Brain
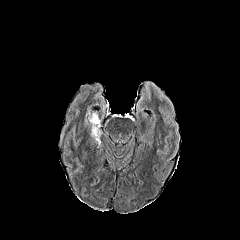
FLAIR magnetic resonance.
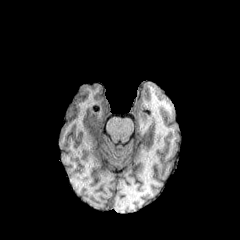
Same slice, T1-weighted MR image.
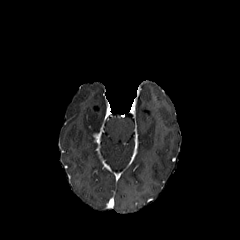
Same slice, post-contrast T1-weighted MRI.
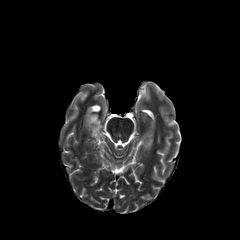
T2-weighted MR image.
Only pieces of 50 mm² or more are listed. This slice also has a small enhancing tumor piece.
The peritumoral edema is at region(85, 112, 100, 136).